Slice 44 of 155; Head
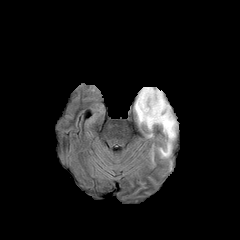
FLAIR MR.
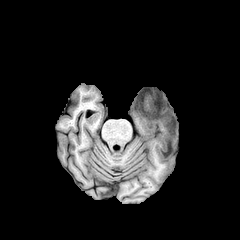
T1-weighted MR image.
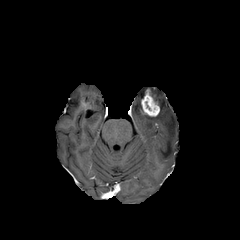
Post-contrast T1-weighted magnetic resonance.
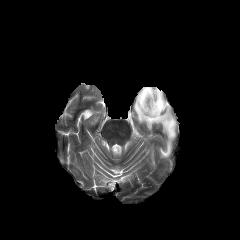
T2-weighted MR image.
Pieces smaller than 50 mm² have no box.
The enhancing tumor is bounded by x1=140, y1=88, x2=159, y2=115. The largest peritumoral edema region is located at x1=134, y1=87, x2=176, y2=157.